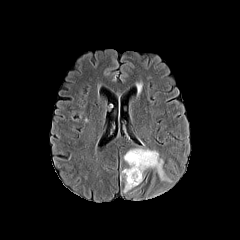
FLAIR MR image.
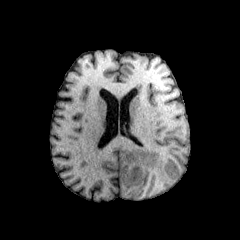
T1-weighted MRI.
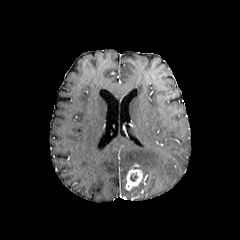
Post-contrast T1-weighted MRI of the same slice.
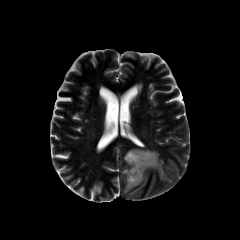
T2-weighted magnetic resonance.
240x240, Axial view, Head
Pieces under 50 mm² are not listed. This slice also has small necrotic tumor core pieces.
The enhancing tumor is bounded by x1=125, y1=163, x2=143, y2=190. The largest peritumoral edema region is at x1=121, y1=148, x2=171, y2=184.